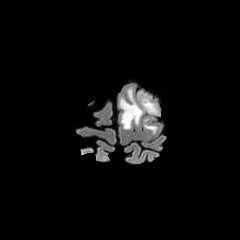
FLAIR magnetic resonance.
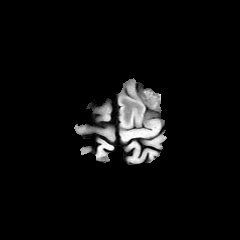
Same slice, T1-weighted MR.
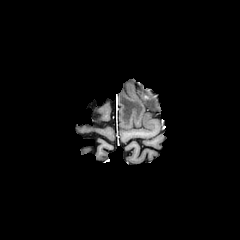
Post-contrast T1-weighted MRI.
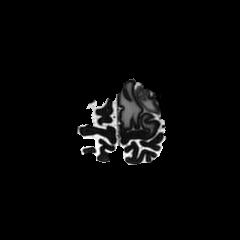
T2-weighted MR image.
Brain. 240x240. Axial plane.
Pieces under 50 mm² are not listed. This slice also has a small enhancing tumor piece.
- peritumoral edema: left=143, top=117, right=156, bottom=133; left=119, top=85, right=158, bottom=129